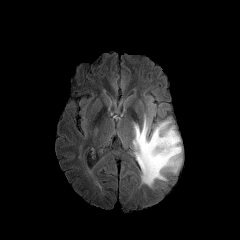
FLAIR MR image.
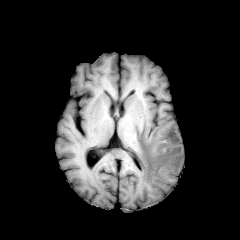
T1-weighted MRI.
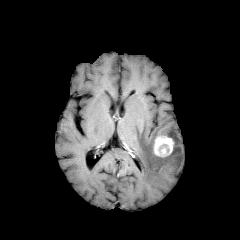
Post-contrast T1-weighted magnetic resonance of the same slice.
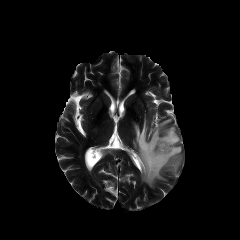
T2-weighted MR image.
Axial view. 240x240.
enhancing_tumor:
  - [x1=154, y1=136, x2=174, y2=156]
peritumoral_edema:
  - [x1=133, y1=116, x2=182, y2=187]